FLAIR MRI.
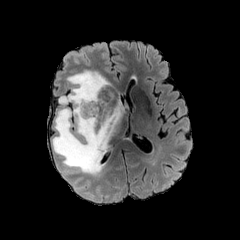
T1-weighted MR.
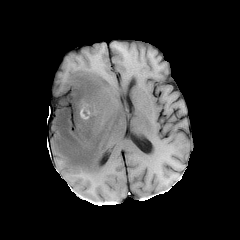
Post-contrast T1-weighted MR.
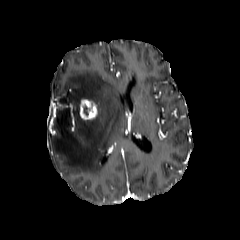
T2-weighted MR image.
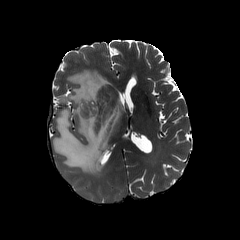
240x240 px, Head, Axial slice
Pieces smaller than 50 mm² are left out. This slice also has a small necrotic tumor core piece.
{
  "enhancing_tumor": [
    "[79, 99, 97, 120]"
  ],
  "peritumoral_edema": [
    "[52, 70, 123, 176]"
  ]
}